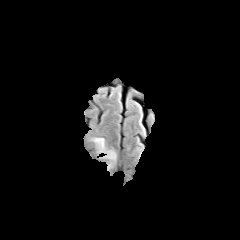
FLAIR MRI.
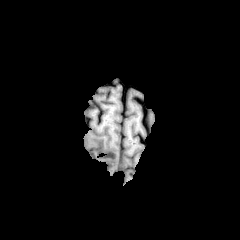
T1-weighted MRI.
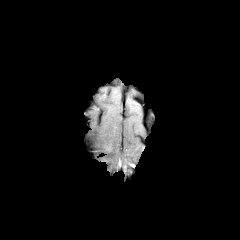
Same slice, post-contrast T1-weighted magnetic resonance.
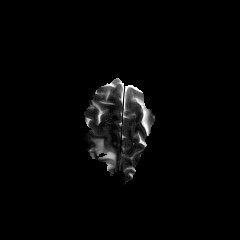
T2-weighted MRI of the same slice.
Image size 240x240. Axial view.
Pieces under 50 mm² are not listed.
Findings:
- peritumoral edema: (x1=92, y1=139, x2=116, y2=161)